Brain, Image covers 240 mm x 240 mm, Slice 38/155
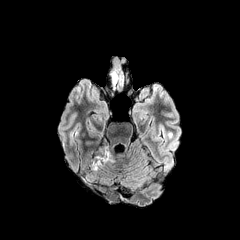
FLAIR MR.
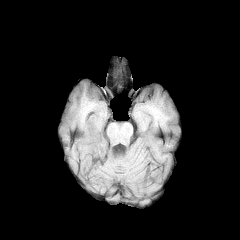
T1-weighted MR.
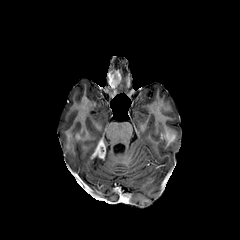
Post-contrast T1-weighted MRI.
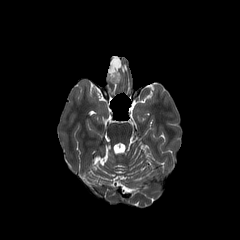
Same slice, T2-weighted MR.
The peritumoral edema is bounded by bbox=[91, 147, 114, 170]. 2 enhancing tumor regions are bounded by bbox=[110, 72, 120, 87]; bbox=[97, 143, 105, 158].